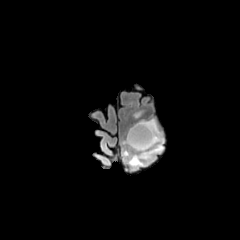
FLAIR magnetic resonance.
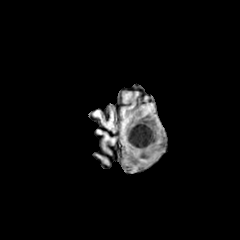
T1-weighted MRI.
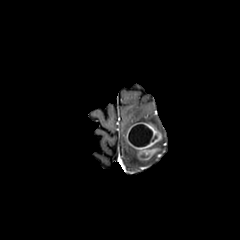
Same slice, post-contrast T1-weighted MR.
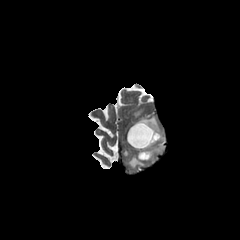
T2-weighted MRI.
Brain | Axial slice
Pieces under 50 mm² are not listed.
enhancing tumor: <box>126,122,162,160</box> | peritumoral edema: <box>133,109,146,117</box>, <box>139,118,158,128</box>, <box>155,135,163,153</box>, <box>122,140,156,169</box> | necrotic tumor core: <box>128,124,152,146</box>